240x240; Slice 66/155; Axial plane
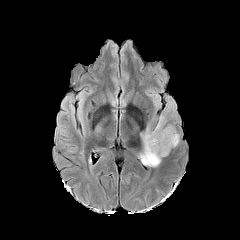
FLAIR MRI.
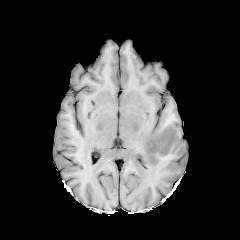
T1-weighted MRI.
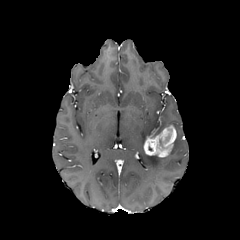
Same slice, post-contrast T1-weighted magnetic resonance.
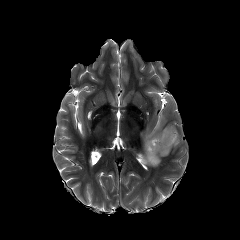
T2-weighted MR of the same slice.
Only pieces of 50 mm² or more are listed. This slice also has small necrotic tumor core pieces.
peritumoral edema: bounding box (x1=141, y1=117, x2=164, y2=145), (x1=140, y1=148, x2=160, y2=166), (x1=173, y1=133, x2=179, y2=147)
enhancing tumor: bounding box (x1=143, y1=125, x2=176, y2=157)